Slice 84/155, Head, Image size 240x240
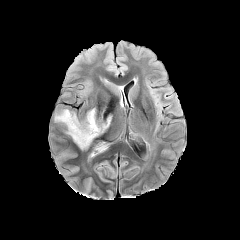
FLAIR MR image.
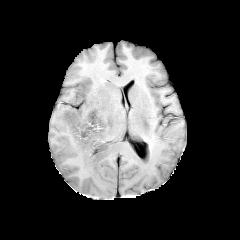
Same slice, T1-weighted magnetic resonance.
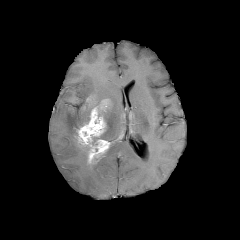
Post-contrast T1-weighted MR image.
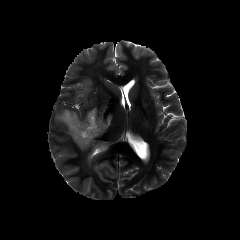
Same slice, T2-weighted MRI.
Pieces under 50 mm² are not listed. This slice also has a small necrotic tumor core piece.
The 2 largest peritumoral edema regions are bounded by (x1=54, y1=109, x2=90, y2=149), (x1=105, y1=116, x2=111, y2=130). The enhancing tumor is located at (x1=76, y1=107, x2=109, y2=162).